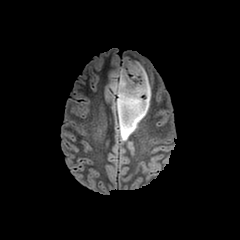
FLAIR MR image.
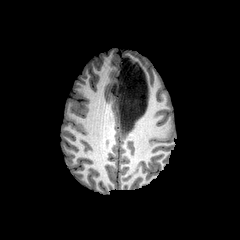
T1-weighted MRI.
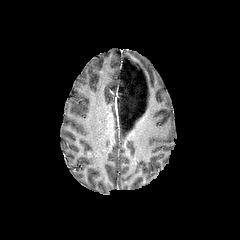
Post-contrast T1-weighted magnetic resonance.
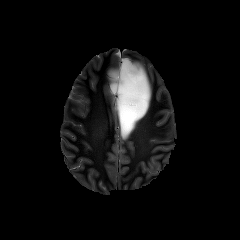
T2-weighted MR image of the same slice.
240x240. Brain.
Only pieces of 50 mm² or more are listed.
peritumoral edema: bounding box 109:58:151:140